Axial plane; Image covers 240 mm x 240 mm
FLAIR MR image.
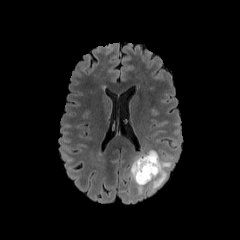
T1-weighted magnetic resonance.
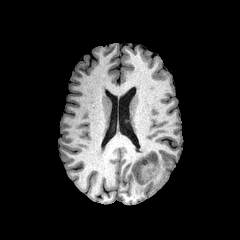
Post-contrast T1-weighted MRI.
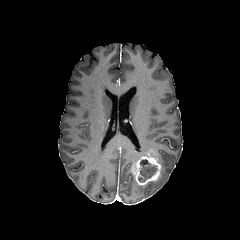
T2-weighted MR image.
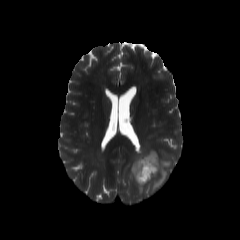
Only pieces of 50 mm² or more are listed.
peritumoral edema: 128,149,177,195
enhancing tumor: 132,153,162,185
necrotic tumor core: 139,160,157,181